Axial slice. Head.
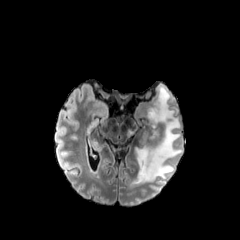
FLAIR MRI.
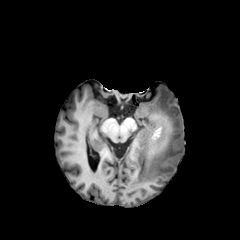
T1-weighted MR image of the same slice.
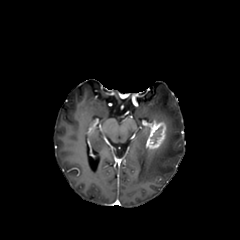
Post-contrast T1-weighted MR image.
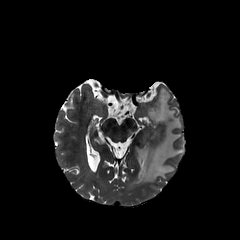
T2-weighted MR image of the same slice.
<segmentation>
  <necrotic_tumor_core>region(151, 127, 161, 143)</necrotic_tumor_core>
  <peritumoral_edema>region(127, 126, 137, 136); region(132, 85, 183, 184)</peritumoral_edema>
  <enhancing_tumor>region(143, 119, 167, 149)</enhancing_tumor>
</segmentation>